Axial view; Slice 95 of 155; Brain
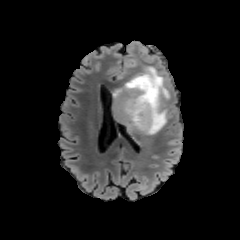
FLAIR MR.
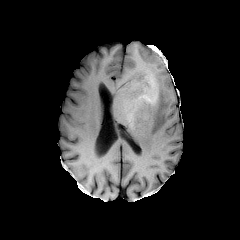
Same slice, T1-weighted MRI.
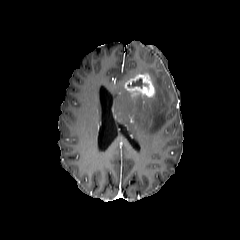
Post-contrast T1-weighted MR image.
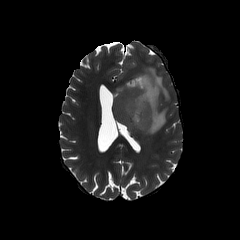
T2-weighted magnetic resonance.
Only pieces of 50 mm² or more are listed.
peritumoral edema — x1=114, y1=66, x2=169, y2=134
necrotic tumor core — x1=128, y1=78, x2=142, y2=87
enhancing tumor — x1=124, y1=73, x2=155, y2=98